Axial slice
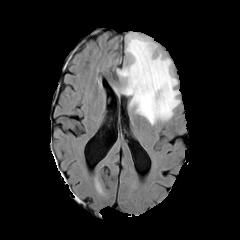
FLAIR magnetic resonance.
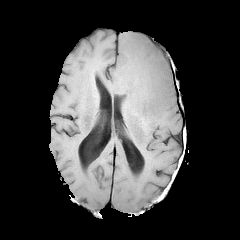
T1-weighted MRI.
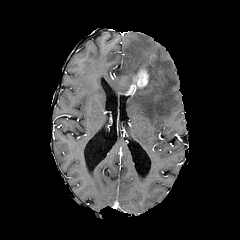
Post-contrast T1-weighted MRI.
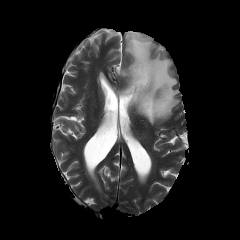
T2-weighted MR image.
- enhancing tumor: [x1=125, y1=64, x2=149, y2=95]
- peritumoral edema: [x1=115, y1=32, x2=178, y2=124]